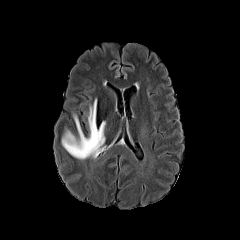
FLAIR magnetic resonance.
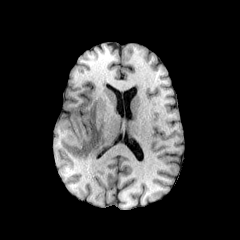
T1-weighted MR image.
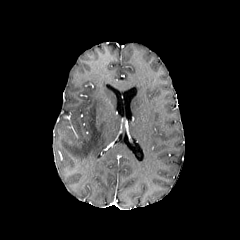
Post-contrast T1-weighted MRI.
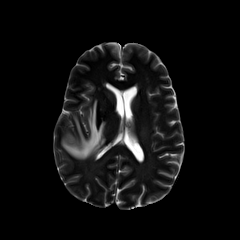
Same slice, T2-weighted MRI.
peritumoral edema = [x1=61, y1=98, x2=105, y2=159]